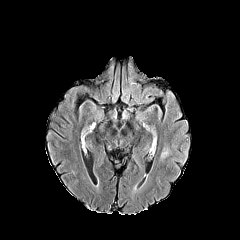
FLAIR magnetic resonance.
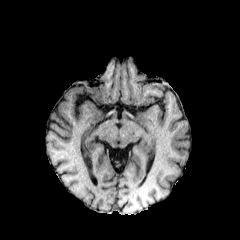
T1-weighted MRI of the same slice.
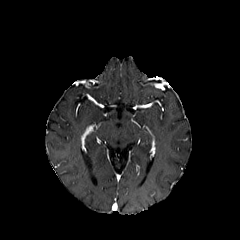
Post-contrast T1-weighted MR.
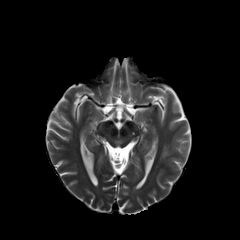
T2-weighted MR image.
The peritumoral edema is bounded by bbox=[160, 147, 168, 158].